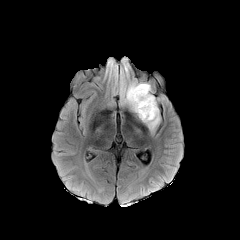
FLAIR MR image.
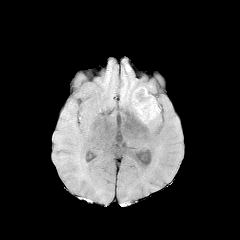
T1-weighted MR image.
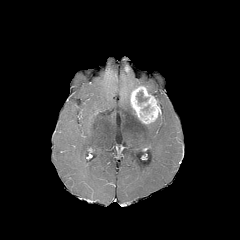
Post-contrast T1-weighted MR image of the same slice.
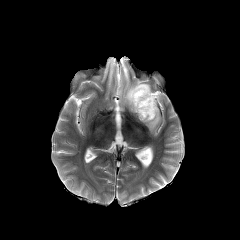
Same slice, T2-weighted MRI.
Axial slice
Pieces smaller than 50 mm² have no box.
enhancing tumor: <bbox>130, 86, 159, 123</bbox>
necrotic tumor core: <bbox>136, 90, 149, 105</bbox>
peritumoral edema: <bbox>146, 110, 160, 131</bbox>, <bbox>120, 81, 151, 112</bbox>